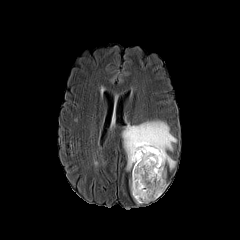
FLAIR magnetic resonance.
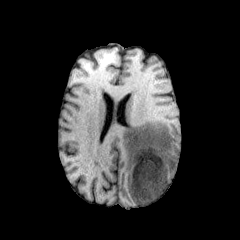
T1-weighted MRI.
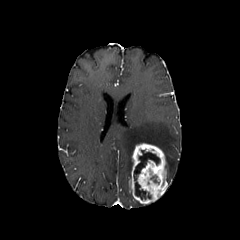
Post-contrast T1-weighted MRI.
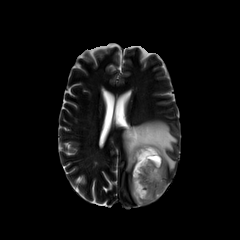
T2-weighted MR image.
240x240 px.
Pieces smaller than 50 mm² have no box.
peritumoral edema — l=122, t=120, r=177, b=170
necrotic tumor core — l=133, t=150, r=160, b=199
enhancing tumor — l=129, t=143, r=168, b=204